Slice 66/155; 240x240 px; Image covers 240 mm x 240 mm
FLAIR magnetic resonance.
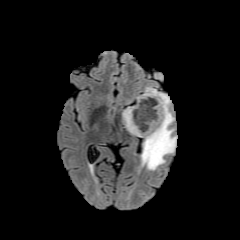
T1-weighted MR.
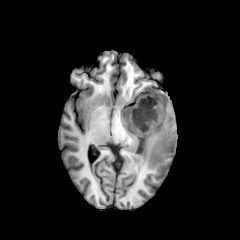
Post-contrast T1-weighted MRI.
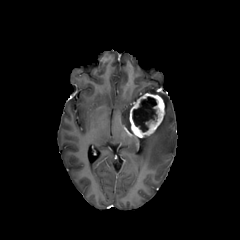
T2-weighted MR.
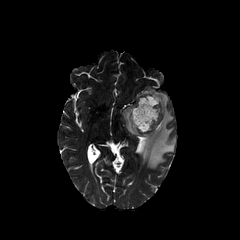
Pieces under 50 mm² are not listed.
enhancing tumor: 129,93,164,137 | necrotic tumor core: 132,97,157,131 | peritumoral edema: 122,107,133,134; 141,87,176,170